Image covers 240 mm x 240 mm, Head, 240x240 px
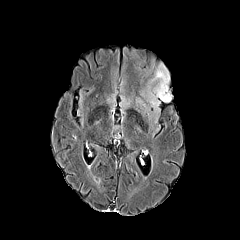
FLAIR magnetic resonance.
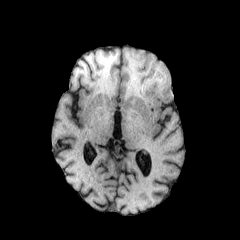
T1-weighted MR.
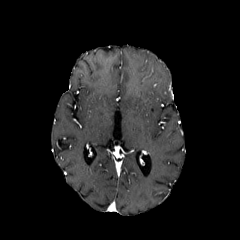
Post-contrast T1-weighted MR of the same slice.
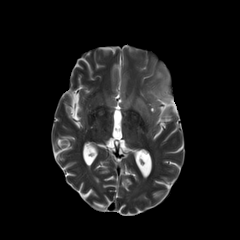
T2-weighted MR.
The peritumoral edema is located at bbox=[148, 63, 171, 111].